Axial plane
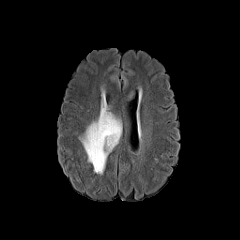
FLAIR magnetic resonance.
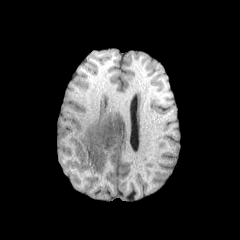
T1-weighted MR image of the same slice.
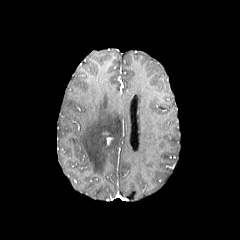
Post-contrast T1-weighted MR.
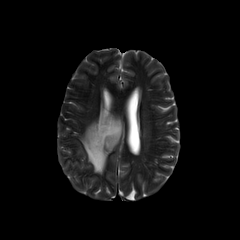
T2-weighted MRI.
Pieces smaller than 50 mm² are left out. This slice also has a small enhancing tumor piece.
peritumoral_edema:
  - [79,102,121,174]